FLAIR MR.
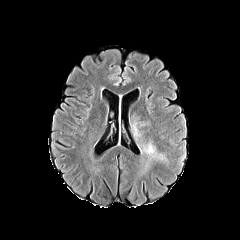
T1-weighted MRI.
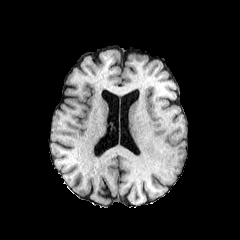
Post-contrast T1-weighted MR.
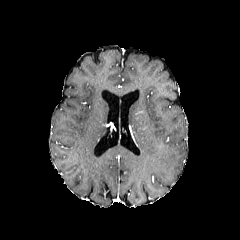
T2-weighted MR image.
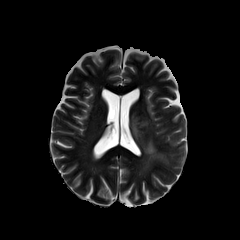
Axial plane, Brain
peritumoral edema: bounding box {"x1": 130, "y1": 110, "x2": 145, "y2": 140}, {"x1": 142, "y1": 142, "x2": 167, "y2": 172}